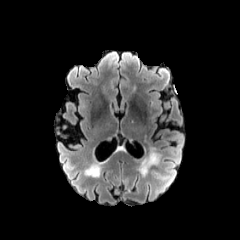
FLAIR MRI.
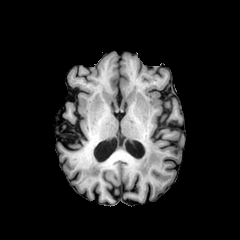
T1-weighted MRI.
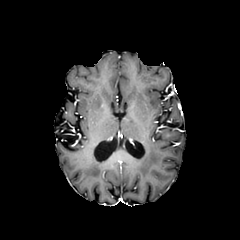
Post-contrast T1-weighted MR.
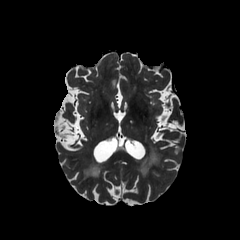
Same slice, T2-weighted MR.
240x240
The peritumoral edema appears at 138,147,161,177.